Slice 77 of 155. 240x240.
FLAIR MRI.
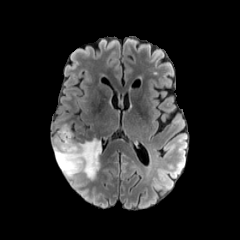
T1-weighted MR.
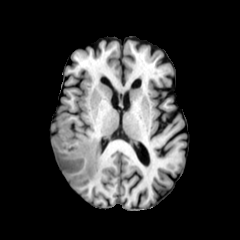
Post-contrast T1-weighted MR image.
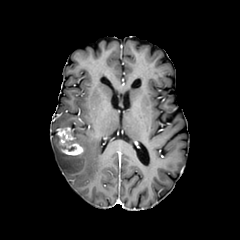
T2-weighted MR image.
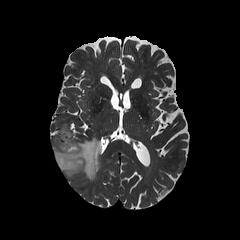
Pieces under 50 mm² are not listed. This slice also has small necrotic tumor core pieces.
enhancing tumor at bbox=[56, 126, 83, 155]
peritumoral edema at bbox=[53, 133, 102, 179]